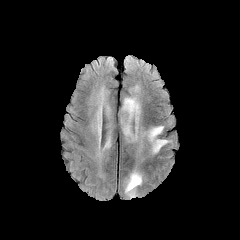
FLAIR MR image.
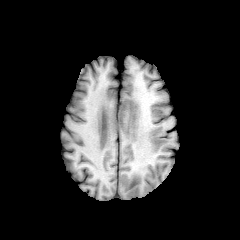
T1-weighted magnetic resonance of the same slice.
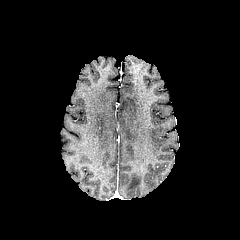
Same slice, post-contrast T1-weighted MR image.
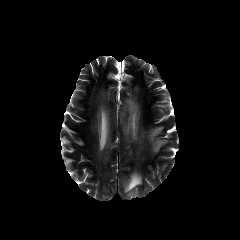
Same slice, T2-weighted magnetic resonance.
Brain
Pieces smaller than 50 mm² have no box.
peritumoral edema: (x1=147, y1=126, x2=167, y2=153), (x1=95, y1=102, x2=102, y2=148), (x1=125, y1=171, x2=142, y2=197), (x1=121, y1=96, x2=140, y2=140), (x1=103, y1=136, x2=110, y2=149)